FLAIR MRI.
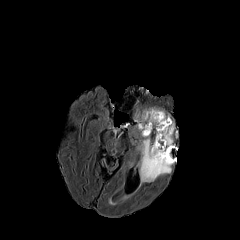
T1-weighted magnetic resonance.
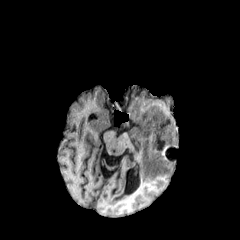
Post-contrast T1-weighted MR image.
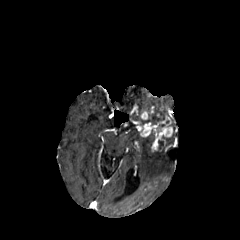
T2-weighted MR image.
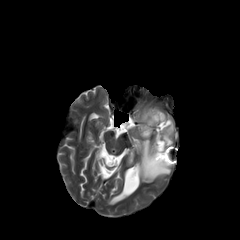
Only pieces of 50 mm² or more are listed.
necrotic_tumor_core:
  - (142,113,164,124)
peritumoral_edema:
  - (139,135,176,182)
enhancing_tumor:
  - (137,108,173,151)